FLAIR MRI.
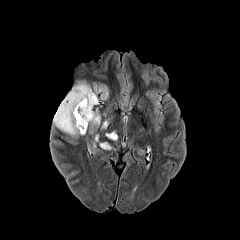
T1-weighted MR.
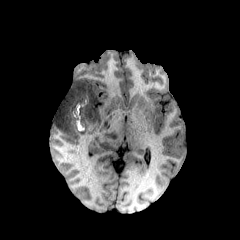
Post-contrast T1-weighted MR image.
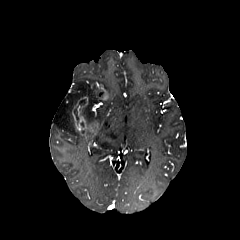
T2-weighted MR.
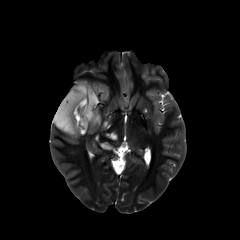
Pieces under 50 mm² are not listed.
2 enhancing tumor regions are bounded by x1=72, y1=97, x2=97, y2=135; x1=98, y1=86, x2=108, y2=100. The 2 largest necrotic tumor core regions are located at x1=73, y1=105, x2=79, y2=124; x1=80, y1=97, x2=97, y2=125. The 4 largest peritumoral edema regions appear at x1=99, y1=142, x2=110, y2=149; x1=94, y1=109, x2=100, y2=125; x1=105, y1=131, x2=116, y2=139; x1=53, y1=81, x2=100, y2=136.